Axial slice
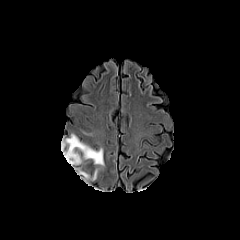
FLAIR magnetic resonance.
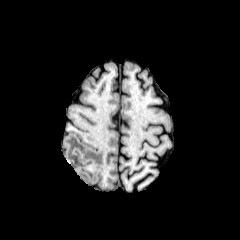
Same slice, T1-weighted MRI.
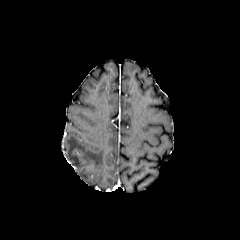
Same slice, post-contrast T1-weighted magnetic resonance.
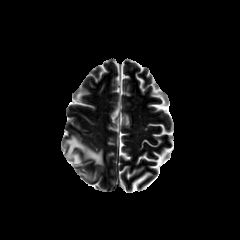
T2-weighted MR image.
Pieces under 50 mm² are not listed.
{
  "peritumoral_edema": [
    "box=[78, 170, 89, 179]",
    "box=[64, 134, 104, 166]"
  ]
}